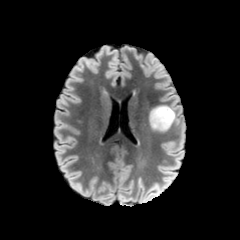
FLAIR magnetic resonance.
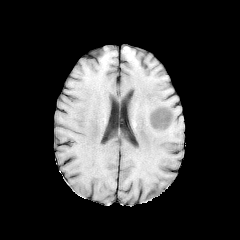
T1-weighted MR image of the same slice.
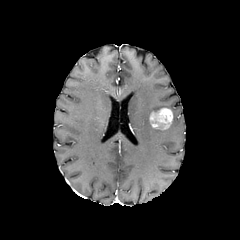
Same slice, post-contrast T1-weighted MR image.
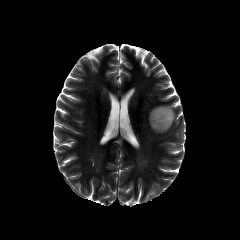
Same slice, T2-weighted MR.
Image size 240x240; Axial view
The enhancing tumor appears at region(149, 108, 173, 129). The peritumoral edema is at region(150, 105, 176, 131).